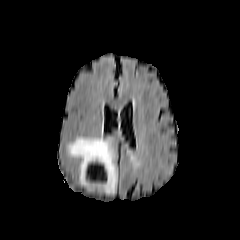
FLAIR MR image.
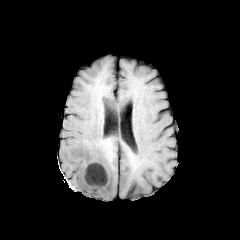
Same slice, T1-weighted MRI.
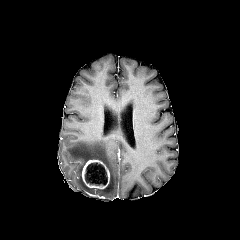
Same slice, post-contrast T1-weighted MR.
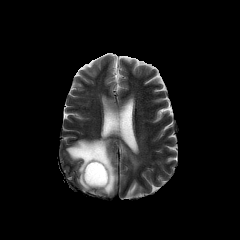
T2-weighted MRI of the same slice.
Brain.
<segmentation>
  <necrotic_tumor_core>[85, 162, 107, 185]</necrotic_tumor_core>
  <enhancing_tumor>[82, 159, 110, 189]</enhancing_tumor>
  <peritumoral_edema>[67, 132, 117, 194]</peritumoral_edema>
</segmentation>